Image width 240 mm, Brain, Slice 116 of 155, Axial plane
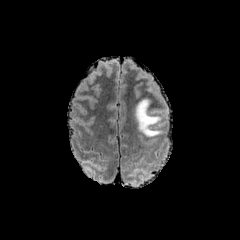
FLAIR magnetic resonance.
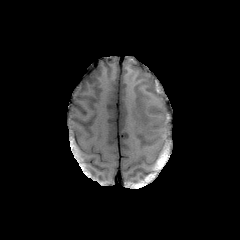
T1-weighted MRI.
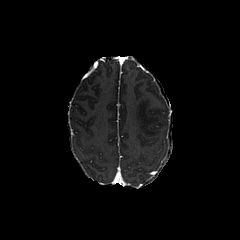
Post-contrast T1-weighted MR.
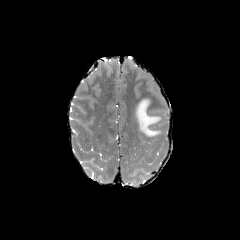
T2-weighted MR.
peritumoral edema: l=134, t=98, r=160, b=136